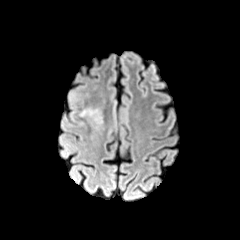
FLAIR MRI.
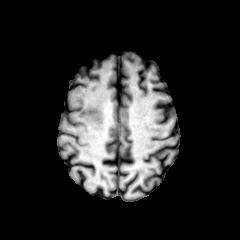
T1-weighted magnetic resonance of the same slice.
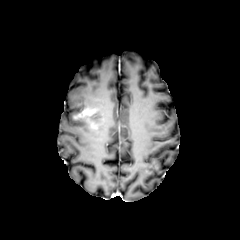
Same slice, post-contrast T1-weighted MR.
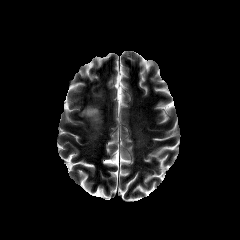
T2-weighted MR image.
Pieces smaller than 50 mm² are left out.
enhancing tumor: bbox=[79, 108, 96, 116]
peritumoral edema: bbox=[88, 109, 98, 120]